FLAIR MRI.
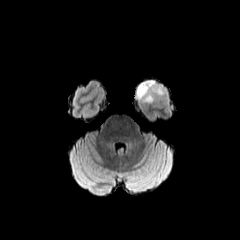
T1-weighted MR image.
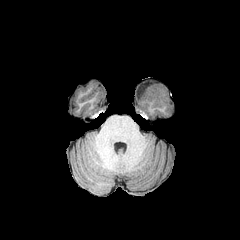
Post-contrast T1-weighted magnetic resonance.
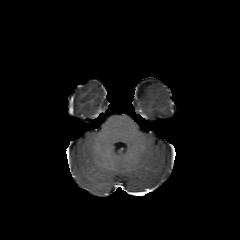
T2-weighted MR.
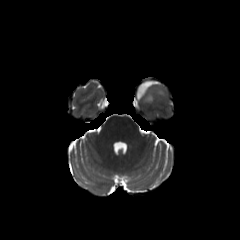
Image size 240x240; Axial plane
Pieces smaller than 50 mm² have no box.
The largest peritumoral edema region is located at [136,80,155,102].